FLAIR MR.
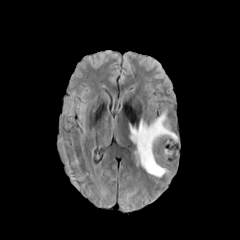
T1-weighted MR image.
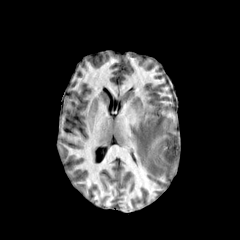
Post-contrast T1-weighted MR.
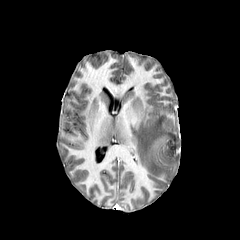
T2-weighted MR.
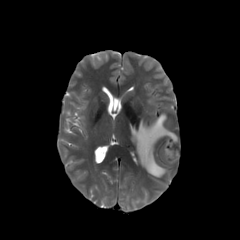
Image size 240x240 | Head
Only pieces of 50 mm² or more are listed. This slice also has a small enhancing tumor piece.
<segmentation>
  <peritumoral_edema>[x1=129, y1=113, x2=178, y2=177]</peritumoral_edema>
  <necrotic_tumor_core>[x1=165, y1=137, x2=177, y2=157]</necrotic_tumor_core>
</segmentation>